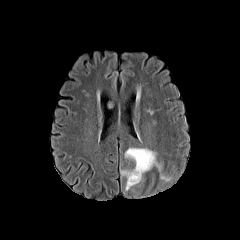
FLAIR magnetic resonance.
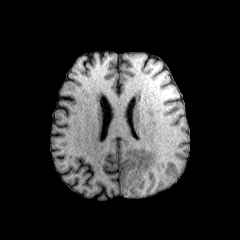
T1-weighted MRI of the same slice.
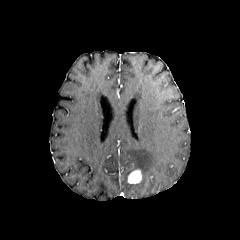
Post-contrast T1-weighted magnetic resonance.
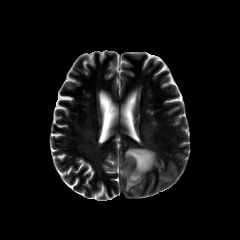
T2-weighted magnetic resonance of the same slice.
Head. Image size 240x240. Axial slice.
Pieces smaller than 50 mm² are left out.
- peritumoral edema: (left=124, top=148, right=161, bottom=179), (left=125, top=182, right=137, bottom=191)
- enhancing tumor: (left=127, top=169, right=141, bottom=183)